FLAIR MR image.
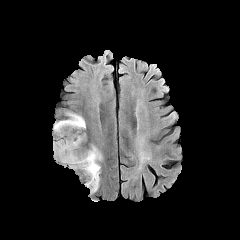
T1-weighted MRI.
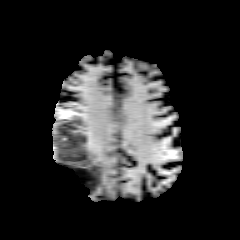
Post-contrast T1-weighted MRI.
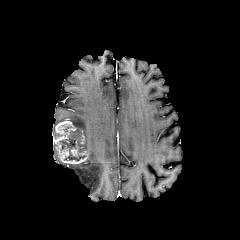
T2-weighted MRI.
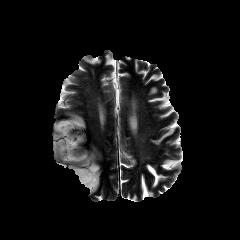
240x240, Brain
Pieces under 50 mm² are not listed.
peritumoral edema — 68, 145, 101, 193; 71, 131, 82, 146; 66, 112, 85, 129
enhancing tumor — 53, 120, 88, 163
necrotic tumor core — 60, 137, 75, 149; 65, 152, 85, 160